Axial slice, Image width 240 mm
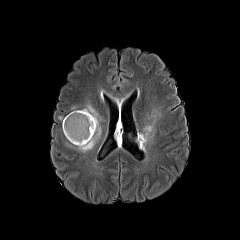
FLAIR magnetic resonance.
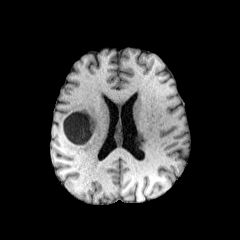
T1-weighted MR image.
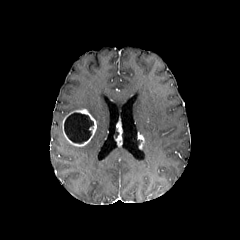
Post-contrast T1-weighted magnetic resonance of the same slice.
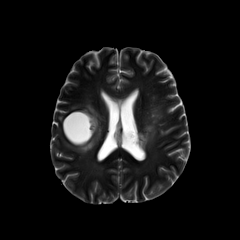
T2-weighted MR image.
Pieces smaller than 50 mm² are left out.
The 2 largest peritumoral edema regions are located at bbox(140, 113, 159, 150); bbox(67, 104, 101, 152). The largest necrotic tumor core region is at bbox(64, 112, 93, 143). 3 enhancing tumor regions are located at bbox(138, 133, 145, 148); bbox(116, 122, 122, 145); bbox(62, 109, 96, 146).